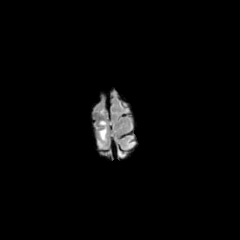
FLAIR MR.
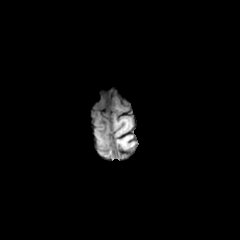
T1-weighted MR.
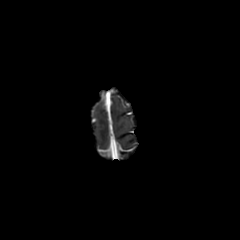
Post-contrast T1-weighted magnetic resonance.
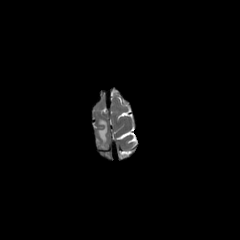
T2-weighted MR image.
240x240; Axial view
Annotated regions:
- peritumoral edema: box=[98, 121, 107, 148]